Brain, Axial view, Slice 96/155
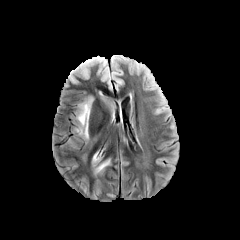
FLAIR MR image.
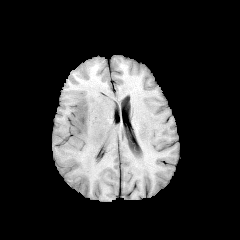
Same slice, T1-weighted MRI.
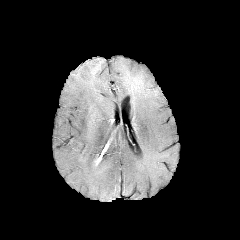
Same slice, post-contrast T1-weighted magnetic resonance.
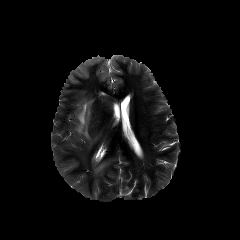
Same slice, T2-weighted MR.
peritumoral_edema:
  - <bbox>92, 152, 110, 173</bbox>
  - <bbox>75, 97, 93, 140</bbox>